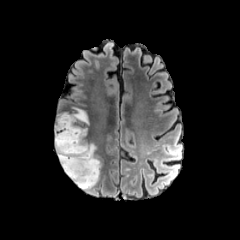
FLAIR MRI.
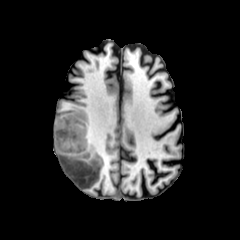
T1-weighted MRI of the same slice.
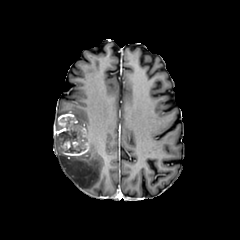
Post-contrast T1-weighted magnetic resonance.
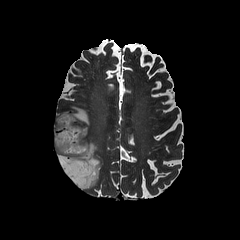
T2-weighted MR image.
Brain
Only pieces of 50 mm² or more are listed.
2 peritumoral edema regions are bounded by [55, 107, 90, 131], [54, 136, 100, 189]. The largest necrotic tumor core region appears at [59, 128, 85, 152]. The largest enhancing tumor region is bounded by [54, 113, 90, 155].